Slice 71/155, Brain, Axial slice
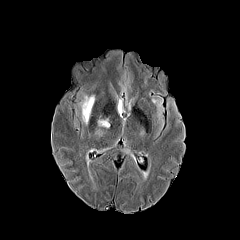
FLAIR MR image.
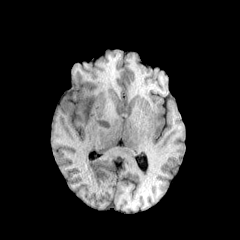
T1-weighted magnetic resonance of the same slice.
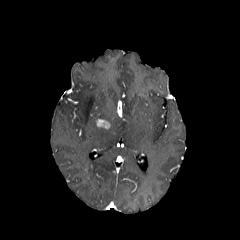
Post-contrast T1-weighted MR.
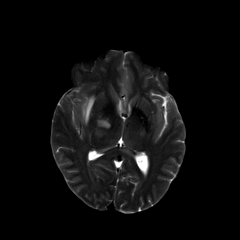
Same slice, T2-weighted magnetic resonance.
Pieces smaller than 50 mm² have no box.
{
  "peritumoral_edema": [
    "bbox(82, 95, 94, 124)"
  ],
  "enhancing_tumor": [
    "bbox(96, 119, 110, 128)",
    "bbox(117, 100, 122, 114)"
  ]
}